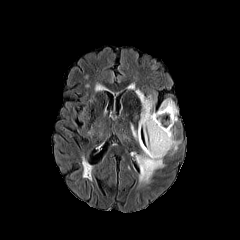
FLAIR magnetic resonance.
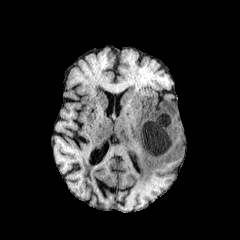
T1-weighted magnetic resonance of the same slice.
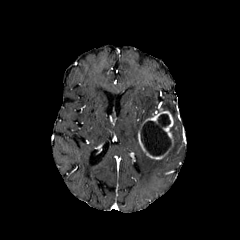
Post-contrast T1-weighted MR of the same slice.
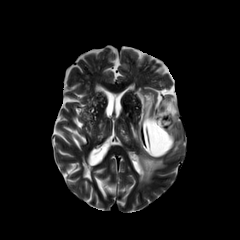
T2-weighted MR.
Axial slice; 240x240
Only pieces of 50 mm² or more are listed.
The necrotic tumor core is located at bbox=[141, 114, 171, 155]. The enhancing tumor is bounded by bbox=[138, 108, 173, 159]. The 5 largest peritumoral edema regions are located at bbox=[172, 139, 179, 152]; bbox=[131, 125, 137, 140]; bbox=[136, 90, 154, 130]; bbox=[136, 150, 164, 183]; bbox=[158, 99, 177, 122].